FLAIR MR.
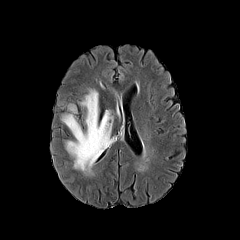
T1-weighted magnetic resonance.
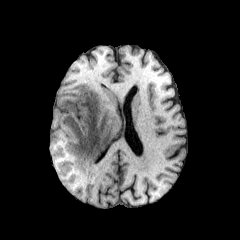
Post-contrast T1-weighted magnetic resonance.
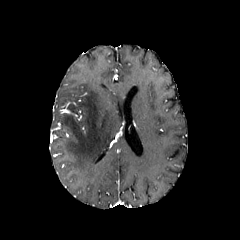
T2-weighted MR.
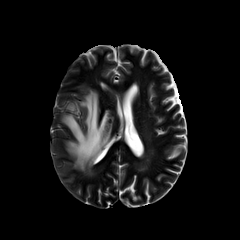
Axial view
peritumoral edema: [x1=62, y1=90, x2=113, y2=170]